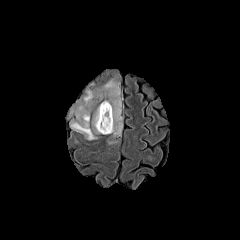
FLAIR MR image.
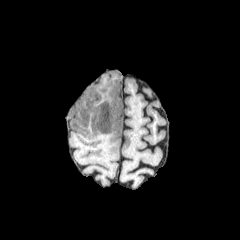
T1-weighted MRI.
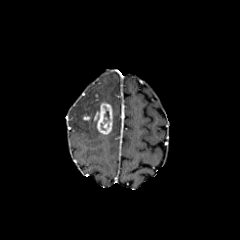
Same slice, post-contrast T1-weighted magnetic resonance.
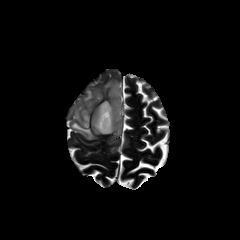
Same slice, T2-weighted MRI.
Axial view
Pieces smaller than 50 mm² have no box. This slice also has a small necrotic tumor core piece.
peritumoral_edema:
  - [x1=68, y1=87, x2=100, y2=140]
  - [x1=97, y1=79, x2=121, y2=137]
enhancing_tumor:
  - [x1=94, y1=102, x2=112, y2=134]